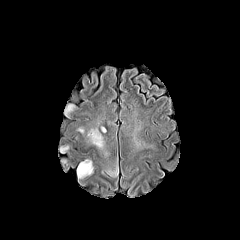
FLAIR MRI.
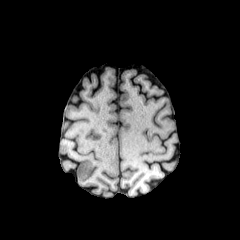
T1-weighted MR image.
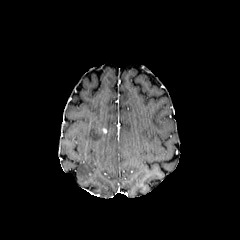
Post-contrast T1-weighted MR of the same slice.
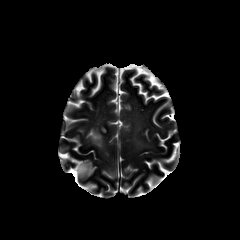
T2-weighted MR of the same slice.
240x240 px; Brain
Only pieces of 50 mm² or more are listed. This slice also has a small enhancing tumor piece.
peritumoral edema — 89:129:103:147, 77:160:93:177